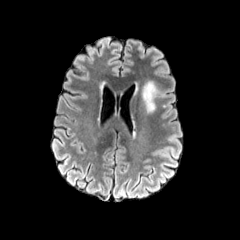
FLAIR MRI.
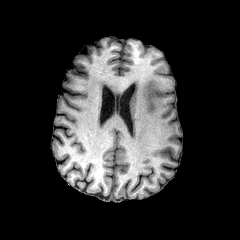
T1-weighted MRI.
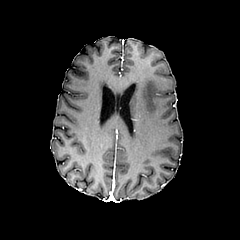
Post-contrast T1-weighted magnetic resonance of the same slice.
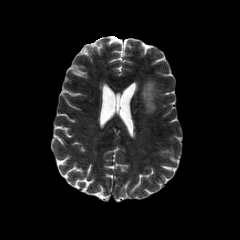
T2-weighted magnetic resonance of the same slice.
peritumoral edema at bbox=[142, 81, 157, 113]